240x240 px | Image width 240 mm, 1.00 mm slice spacing | Brain
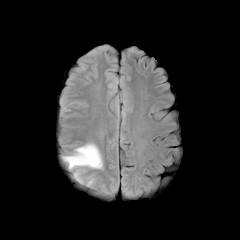
FLAIR MR image.
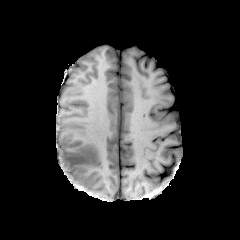
T1-weighted MRI.
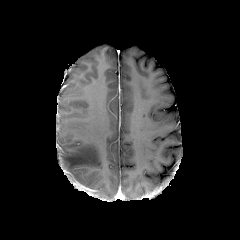
Same slice, post-contrast T1-weighted MR image.
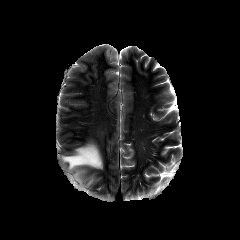
Same slice, T2-weighted MR.
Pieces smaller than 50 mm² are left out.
{
  "peritumoral_edema": [
    "region(73, 169, 84, 183)",
    "region(62, 142, 102, 170)"
  ]
}